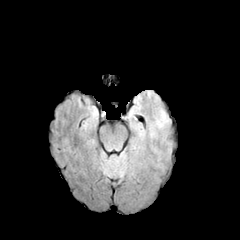
FLAIR magnetic resonance.
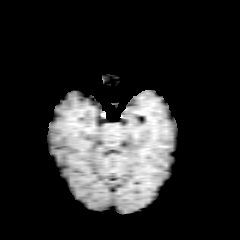
Same slice, T1-weighted MR image.
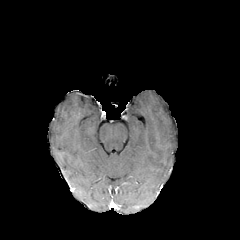
Post-contrast T1-weighted MR image of the same slice.
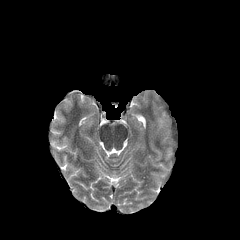
T2-weighted magnetic resonance of the same slice.
Head.
peritumoral edema at 156,112,166,128